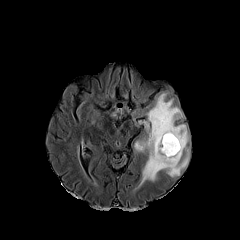
FLAIR MRI.
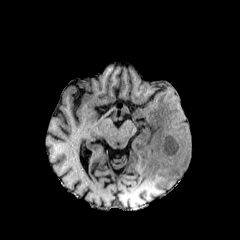
T1-weighted MR.
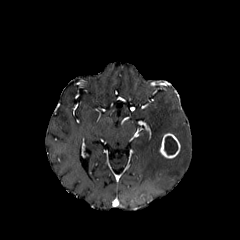
Post-contrast T1-weighted magnetic resonance.
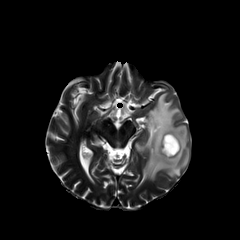
T2-weighted MR of the same slice.
Brain
enhancing tumor: {"x1": 160, "y1": 133, "x2": 180, "y2": 158} | necrotic tumor core: {"x1": 164, "y1": 136, "x2": 177, "y2": 154} | peritumoral edema: {"x1": 134, "y1": 92, "x2": 189, "y2": 184}